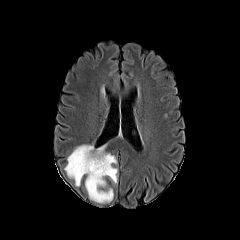
FLAIR MRI.
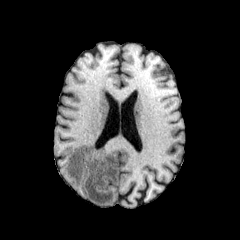
Same slice, T1-weighted MR image.
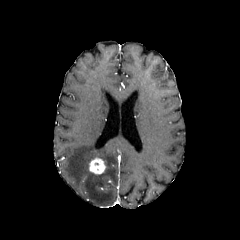
Post-contrast T1-weighted MRI.
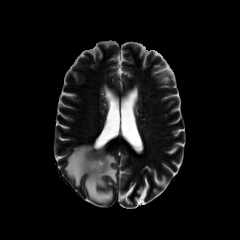
T2-weighted magnetic resonance.
Axial slice. Brain.
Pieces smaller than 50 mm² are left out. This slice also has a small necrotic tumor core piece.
enhancing tumor: [89, 158, 106, 174]
peritumoral edema: [64, 142, 117, 203]